FLAIR MR image.
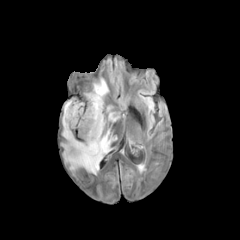
T1-weighted MR.
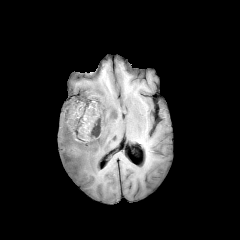
Post-contrast T1-weighted MR.
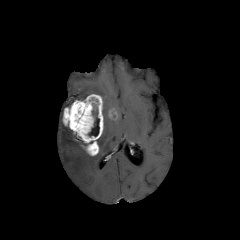
T2-weighted magnetic resonance.
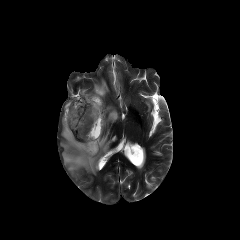
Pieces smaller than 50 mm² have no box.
peritumoral_edema:
  - x1=104 y1=115 x2=116 y2=128
  - x1=85 y1=79 x2=108 y2=101
  - x1=61 y1=124 x2=114 y2=174
necrotic_tumor_core:
  - x1=88 y1=109 x2=99 y2=136
enhancing_tumor:
  - x1=62 y1=94 x2=103 y2=155
  - x1=108 y1=108 x2=117 y2=119